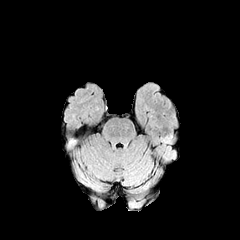
FLAIR magnetic resonance.
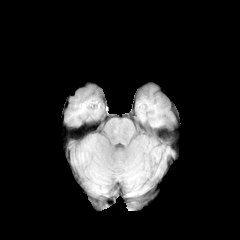
Same slice, T1-weighted MRI.
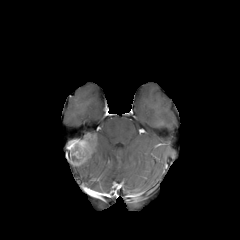
Post-contrast T1-weighted MR image.
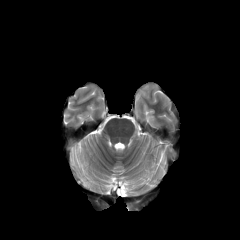
T2-weighted magnetic resonance of the same slice.
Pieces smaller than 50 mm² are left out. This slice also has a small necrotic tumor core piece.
Segmented structures:
• enhancing tumor: [x1=67, y1=139, x2=88, y2=164]